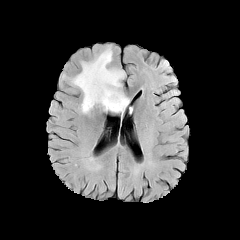
FLAIR MR.
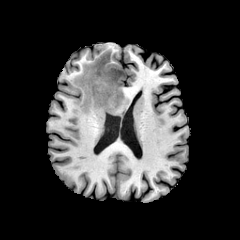
Same slice, T1-weighted MR.
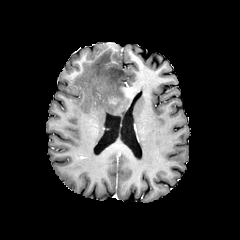
Post-contrast T1-weighted MR image.
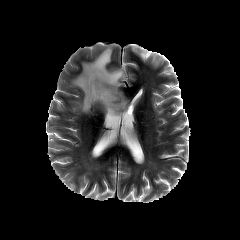
T2-weighted MR of the same slice.
Axial slice
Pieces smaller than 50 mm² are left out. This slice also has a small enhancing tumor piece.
peritumoral edema = [71,47,129,113]